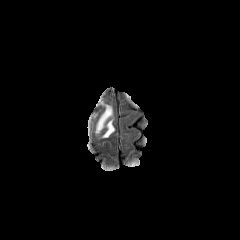
FLAIR MR image.
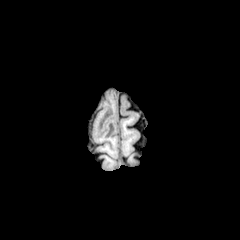
T1-weighted MR image of the same slice.
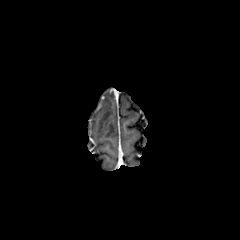
Same slice, post-contrast T1-weighted MRI.
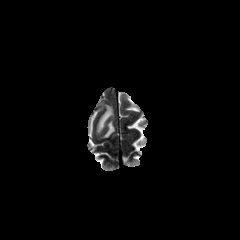
T2-weighted MRI.
Axial view.
Annotated regions:
* peritumoral edema: l=95, t=105, r=114, b=137